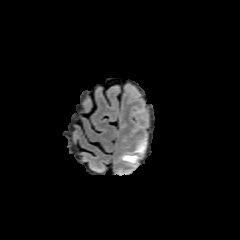
FLAIR magnetic resonance.
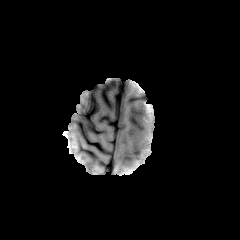
T1-weighted MRI.
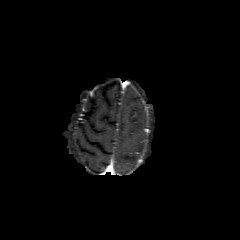
Same slice, post-contrast T1-weighted MR image.
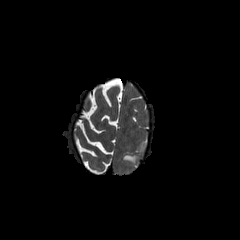
T2-weighted MRI of the same slice.
Axial plane, Brain
Findings:
* peritumoral edema: rect(122, 154, 138, 163); rect(136, 137, 146, 153)